Image width 240 mm, 1.00 mm slice spacing, Image size 240x240
FLAIR magnetic resonance.
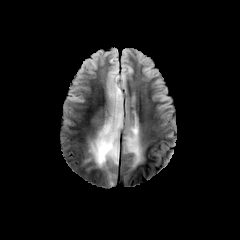
T1-weighted magnetic resonance.
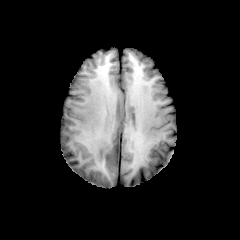
Post-contrast T1-weighted MRI.
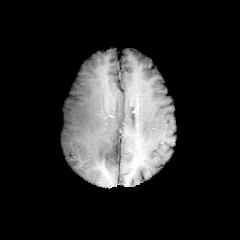
T2-weighted MR.
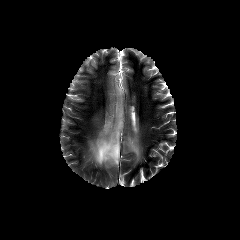
peritumoral edema — (126,127,140,162), (89,110,122,166)